FLAIR MR.
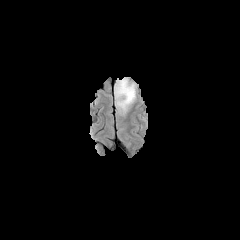
T1-weighted MRI.
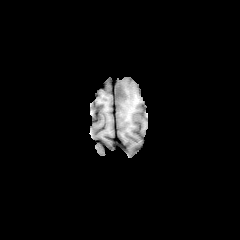
Post-contrast T1-weighted MR.
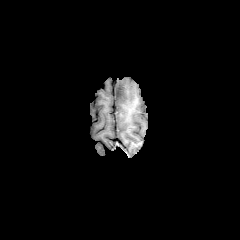
T2-weighted MRI.
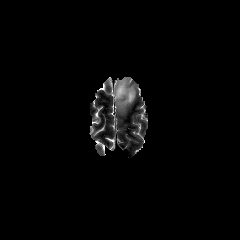
Brain.
necrotic tumor core at (116, 81, 125, 98)
peritumoral edema at (115, 77, 135, 111)